Head | Slice 65/155
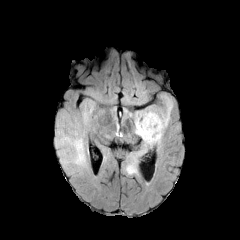
FLAIR magnetic resonance.
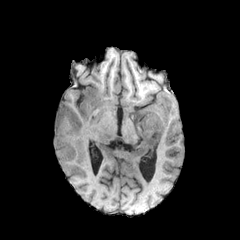
T1-weighted MRI of the same slice.
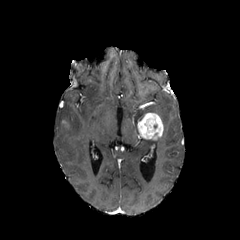
Post-contrast T1-weighted magnetic resonance of the same slice.
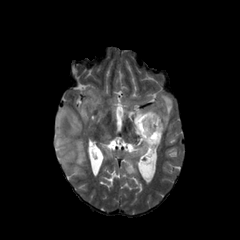
Same slice, T2-weighted MR.
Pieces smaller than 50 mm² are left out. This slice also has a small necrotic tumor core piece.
enhancing tumor: {"x1": 137, "y1": 113, "x2": 163, "y2": 140} | peritumoral edema: {"x1": 55, "y1": 103, "x2": 90, "y2": 171}, {"x1": 123, "y1": 138, "x2": 161, "y2": 176}, {"x1": 135, "y1": 95, "x2": 173, "y2": 134}